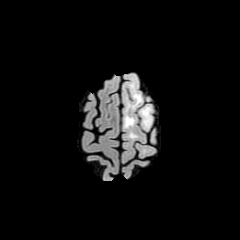
FLAIR MR image.
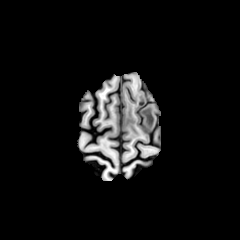
Same slice, T1-weighted MR image.
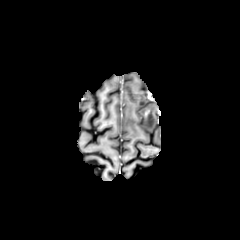
Same slice, post-contrast T1-weighted MR image.
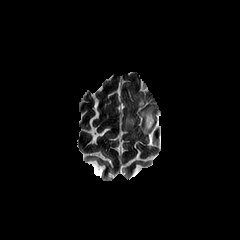
T2-weighted MR image.
Axial view. Head.
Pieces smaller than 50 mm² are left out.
peritumoral edema = (124, 115, 135, 127), (139, 105, 152, 129), (128, 92, 142, 108)
enhancing tumor = (141, 109, 150, 121)